FLAIR MR.
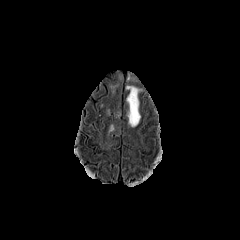
T1-weighted MR.
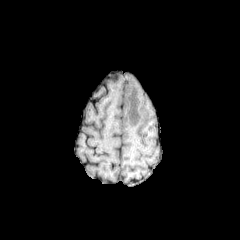
Post-contrast T1-weighted MRI.
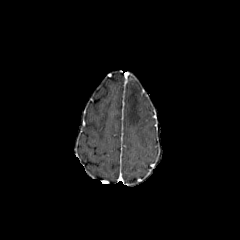
T2-weighted magnetic resonance.
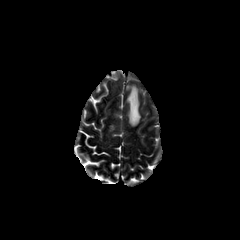
Head
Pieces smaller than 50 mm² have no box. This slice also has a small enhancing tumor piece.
peritumoral edema — 126 85 142 126